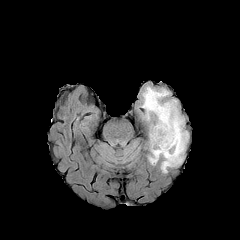
FLAIR magnetic resonance.
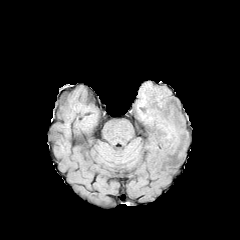
Same slice, T1-weighted MR.
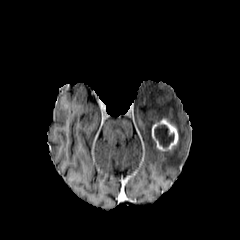
Post-contrast T1-weighted MRI of the same slice.
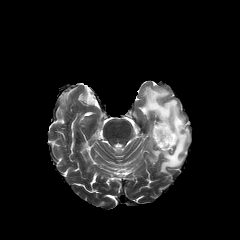
T2-weighted magnetic resonance.
{"enhancing_tumor": ["[152,119,178,150]"], "necrotic_tumor_core": ["[154,125,174,147]"], "peritumoral_edema": ["[141,86,189,173]"]}